Brain
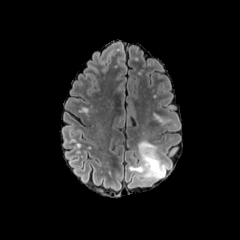
FLAIR MRI.
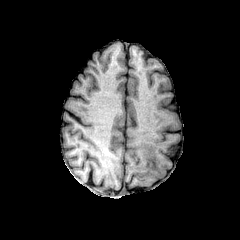
Same slice, T1-weighted MRI.
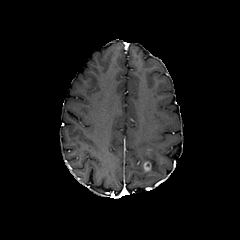
Post-contrast T1-weighted MR image.
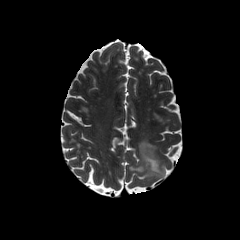
T2-weighted magnetic resonance of the same slice.
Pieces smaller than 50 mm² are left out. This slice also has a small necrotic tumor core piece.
Findings:
* enhancing tumor: x1=143 y1=161 x2=151 y2=171
* peritumoral edema: x1=129 y1=140 x2=168 y2=180